FLAIR MR image.
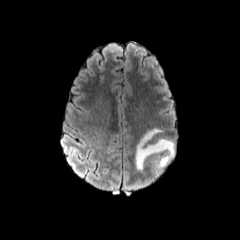
T1-weighted MRI.
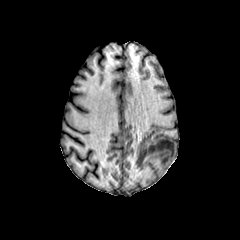
Post-contrast T1-weighted magnetic resonance.
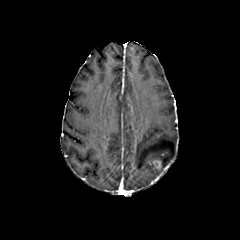
T2-weighted MR.
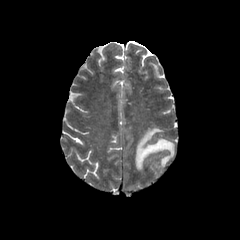
Brain
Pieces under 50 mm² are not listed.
enhancing tumor: (149, 158, 164, 171) | peritumoral edema: (135, 128, 174, 170)